FLAIR magnetic resonance.
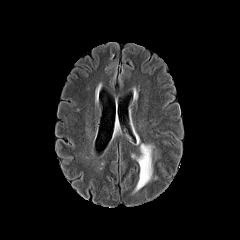
T1-weighted MRI.
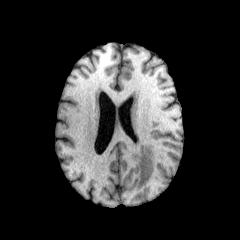
Post-contrast T1-weighted magnetic resonance.
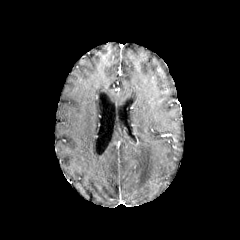
T2-weighted MRI.
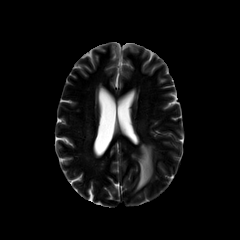
Axial plane
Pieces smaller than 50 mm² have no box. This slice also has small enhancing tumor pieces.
<segmentation>
  <peritumoral_edema>(x1=129, y1=144, x2=162, y2=194)</peritumoral_edema>
</segmentation>